FLAIR magnetic resonance.
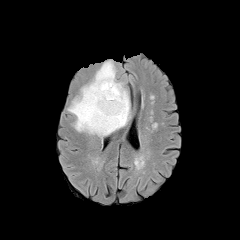
T1-weighted MRI.
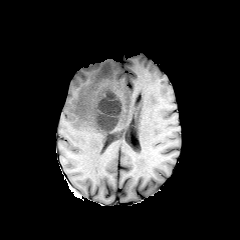
Post-contrast T1-weighted magnetic resonance.
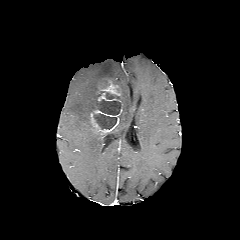
T2-weighted magnetic resonance.
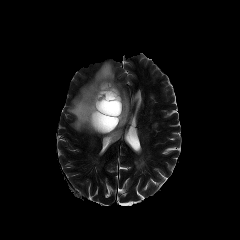
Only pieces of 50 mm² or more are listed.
enhancing tumor: [90,81,122,134] | peritumoral edema: [67,60,130,138] | necrotic tumor core: [98,91,120,115], [93,113,116,129]